Brain, Image size 240x240, Axial plane
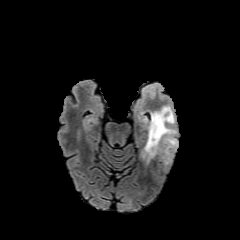
FLAIR MR.
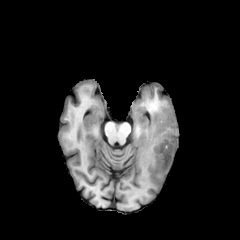
Same slice, T1-weighted MR image.
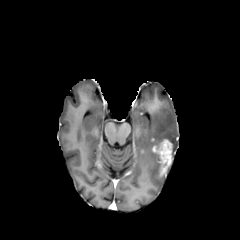
Post-contrast T1-weighted magnetic resonance.
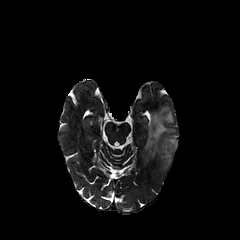
T2-weighted magnetic resonance.
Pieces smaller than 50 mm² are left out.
{
  "peritumoral_edema": [
    "x1=144 y1=106 x2=177 y2=161"
  ],
  "enhancing_tumor": [
    "x1=153 y1=139 x2=172 y2=174"
  ]
}